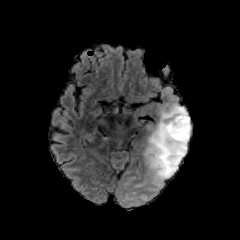
FLAIR MRI.
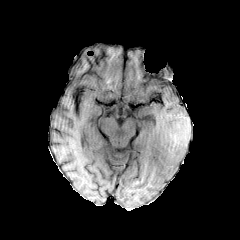
T1-weighted MRI.
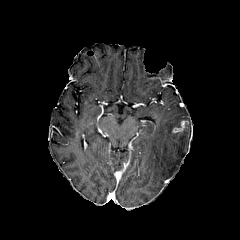
Post-contrast T1-weighted MR of the same slice.
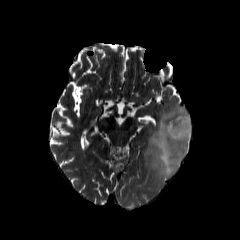
T2-weighted magnetic resonance.
240x240; Brain
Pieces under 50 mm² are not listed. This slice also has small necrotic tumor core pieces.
Segmented structures:
- peritumoral edema: [143,104,191,179]
- enhancing tumor: [172,119,188,133]